Image covers 240 mm x 240 mm. Brain.
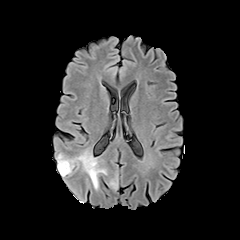
FLAIR MRI.
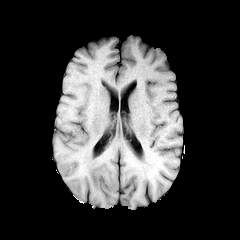
T1-weighted MR.
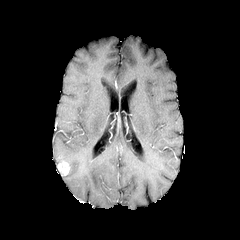
Post-contrast T1-weighted MRI of the same slice.
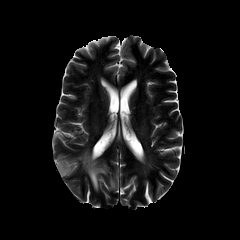
T2-weighted magnetic resonance.
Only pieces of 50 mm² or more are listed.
enhancing_tumor:
  - 57:161:69:175
peritumoral_edema:
  - 110:180:117:189
  - 57:151:106:190